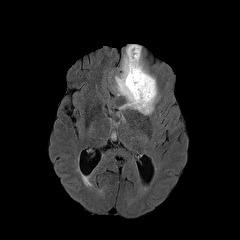
FLAIR MR image.
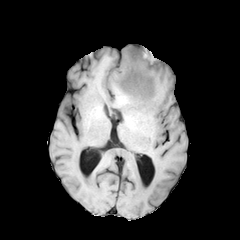
T1-weighted MR image.
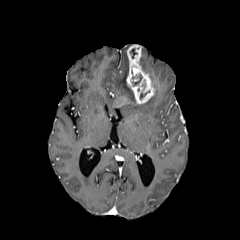
Post-contrast T1-weighted magnetic resonance.
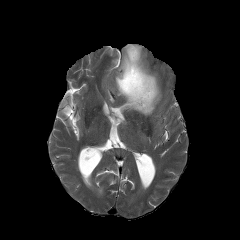
T2-weighted MR image of the same slice.
Brain | Axial view
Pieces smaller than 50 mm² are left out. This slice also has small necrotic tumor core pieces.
Annotated regions:
- enhancing tumor: (left=126, top=44, right=154, bottom=104)
- peritumoral edema: (left=115, top=45, right=159, bottom=114)